FLAIR MR image.
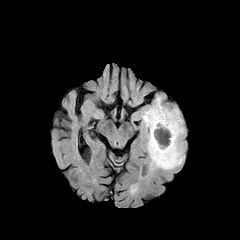
T1-weighted magnetic resonance.
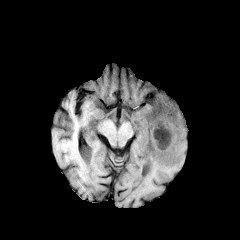
Post-contrast T1-weighted magnetic resonance.
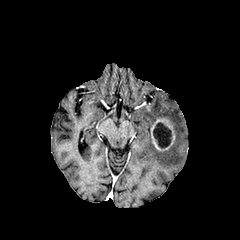
T2-weighted magnetic resonance.
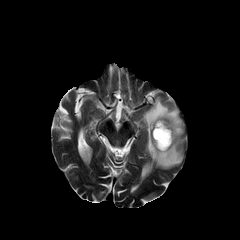
Image size 240x240, Axial slice, Head
<segmentation>
  <peritumoral_edema>140 96 184 170</peritumoral_edema>
  <enhancing_tumor>151 118 175 151</enhancing_tumor>
  <necrotic_tumor_core>153 122 171 148</necrotic_tumor_core>
</segmentation>